FLAIR MR.
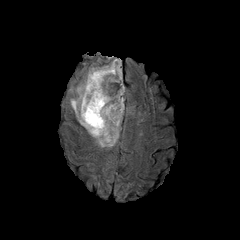
T1-weighted MR image.
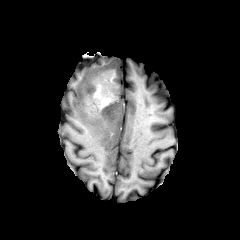
Post-contrast T1-weighted MRI.
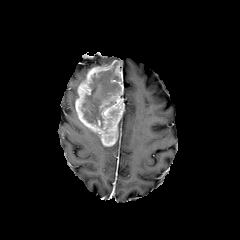
T2-weighted MR image.
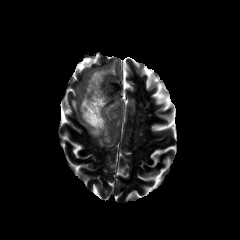
Image size 240x240
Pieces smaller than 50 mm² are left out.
Annotated regions:
• necrotic tumor core: box=[83, 63, 119, 127]
• enhancing tumor: box=[75, 60, 124, 146]
• peritumoral edema: box=[70, 86, 83, 125]; box=[84, 126, 104, 147]